Slice 44/155
FLAIR MR.
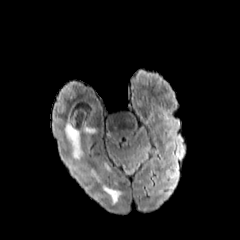
T1-weighted MR.
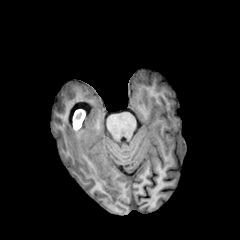
Post-contrast T1-weighted MR.
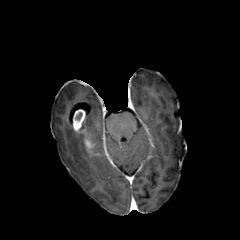
T2-weighted magnetic resonance.
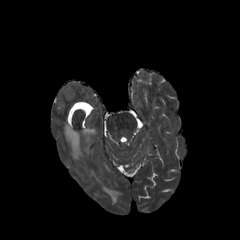
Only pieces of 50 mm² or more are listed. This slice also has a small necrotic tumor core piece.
Findings:
- enhancing tumor: box=[73, 109, 84, 130]; box=[84, 133, 93, 153]
- peritumoral edema: box=[64, 118, 83, 159]; box=[84, 127, 96, 137]; box=[103, 185, 120, 203]